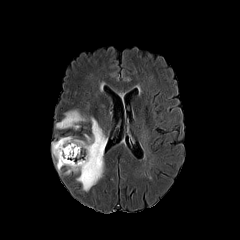
FLAIR magnetic resonance.
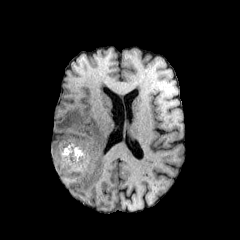
T1-weighted magnetic resonance.
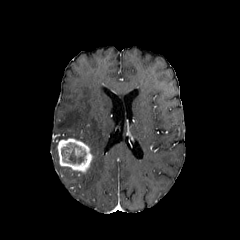
Same slice, post-contrast T1-weighted MR image.
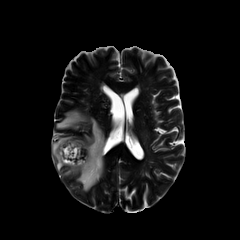
T2-weighted MRI.
Brain
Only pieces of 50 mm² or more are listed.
The 3 largest peritumoral edema regions are bounded by x1=77 y1=117 x2=107 y2=191, x1=52 y1=142 x2=61 y2=171, x1=56 y1=110 x2=87 y2=129. The necrotic tumor core is bounded by x1=61 y1=146 x2=85 y2=163. The largest enhancing tumor region lies within x1=57 y1=138 x2=93 y2=172.